FLAIR magnetic resonance.
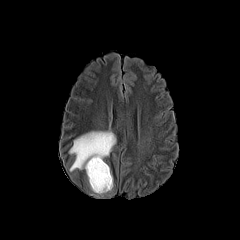
T1-weighted MR.
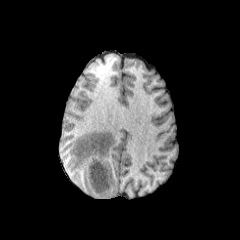
Post-contrast T1-weighted MR.
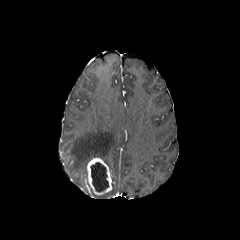
T2-weighted MR image.
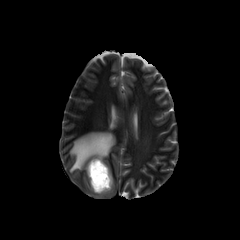
Head; Axial slice
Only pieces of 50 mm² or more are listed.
enhancing tumor — box(87, 157, 112, 194)
peritumoral edema — box(69, 131, 116, 172)
necrotic tumor core — box(90, 162, 108, 191)